Image size 240x240 | Brain
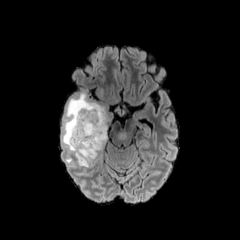
FLAIR MR.
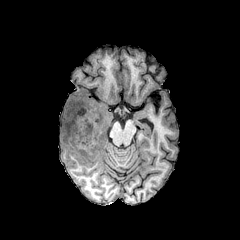
T1-weighted MR.
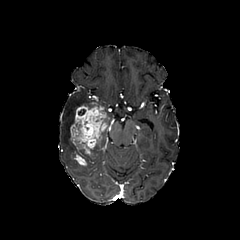
Post-contrast T1-weighted MR.
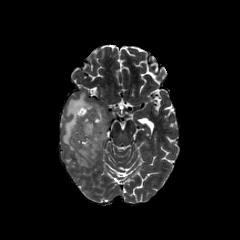
T2-weighted MRI.
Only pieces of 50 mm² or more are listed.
The 2 largest necrotic tumor core regions appear at l=78, t=108, r=86, b=115; l=75, t=140, r=90, b=162. The largest peritumoral edema region is at l=62, t=90, r=96, b=153. The enhancing tumor is located at l=69, t=103, r=108, b=165.